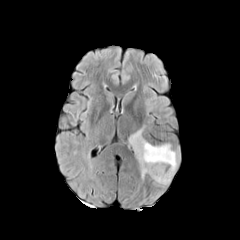
FLAIR magnetic resonance.
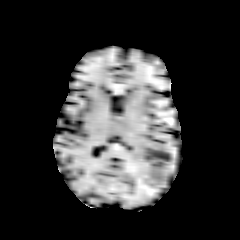
T1-weighted MR of the same slice.
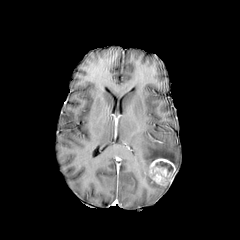
Same slice, post-contrast T1-weighted magnetic resonance.
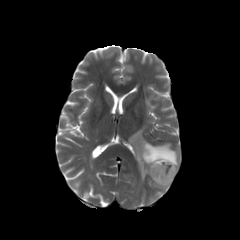
T2-weighted MRI.
Head
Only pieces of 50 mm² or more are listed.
necrotic tumor core = l=156, t=162, r=173, b=171
enhancing tumor = l=149, t=158, r=176, b=185
peritumoral edema = l=129, t=127, r=179, b=178